Axial view
FLAIR MR.
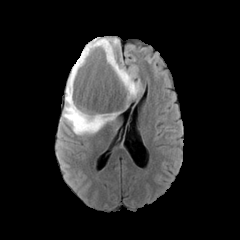
T1-weighted MR image.
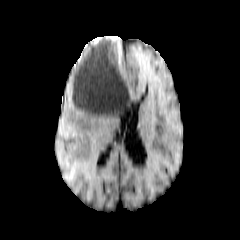
Post-contrast T1-weighted MR image.
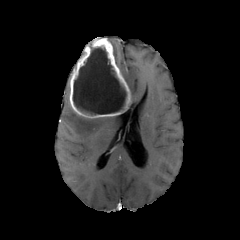
T2-weighted MR image.
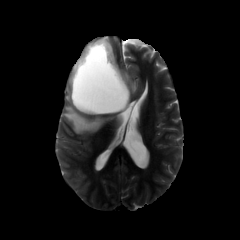
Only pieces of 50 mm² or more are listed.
enhancing_tumor:
  - 68, 37, 131, 118
necrotic_tumor_core:
  - 73, 47, 126, 114
peritumoral_edema:
  - 107, 37, 119, 59
  - 116, 61, 140, 98
  - 62, 81, 115, 134